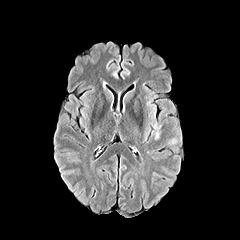
FLAIR MRI.
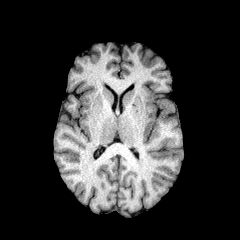
T1-weighted magnetic resonance.
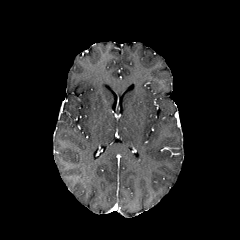
Post-contrast T1-weighted MR of the same slice.
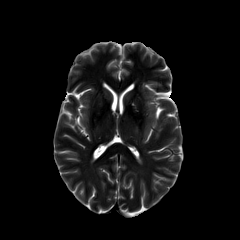
T2-weighted MR image of the same slice.
Axial slice, Brain
peritumoral_edema:
  - 168:137:177:144
  - 152:121:162:139